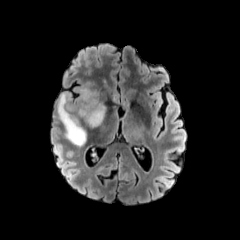
FLAIR magnetic resonance.
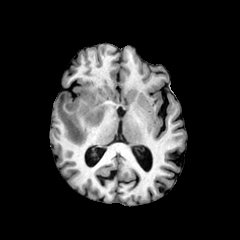
Same slice, T1-weighted magnetic resonance.
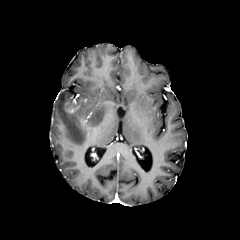
Same slice, post-contrast T1-weighted MR.
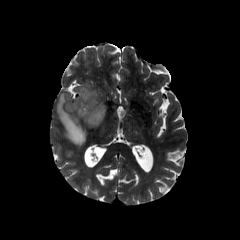
T2-weighted MRI.
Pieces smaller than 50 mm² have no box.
peritumoral edema at <box>57,88,105,146</box>
enhancing tumor at <box>67,106,77,112</box>